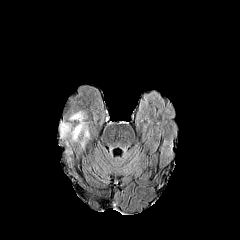
FLAIR MRI.
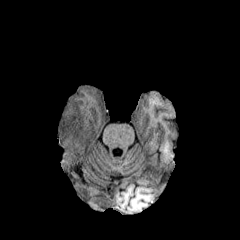
T1-weighted magnetic resonance of the same slice.
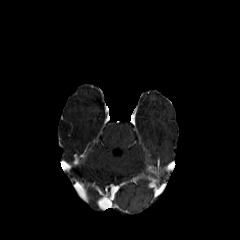
Post-contrast T1-weighted MRI of the same slice.
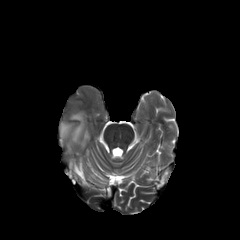
Same slice, T2-weighted MR.
Head
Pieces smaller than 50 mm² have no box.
peritumoral_edema:
  - (left=69, top=111, right=88, bottom=141)
  - (left=60, top=122, right=70, bottom=138)